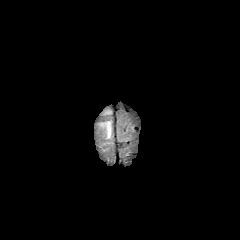
FLAIR magnetic resonance.
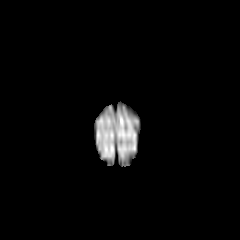
T1-weighted MR image.
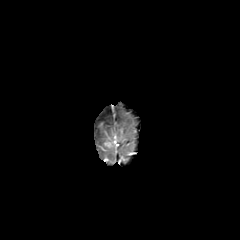
Post-contrast T1-weighted MR image.
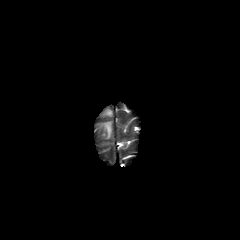
T2-weighted MR.
Image size 240x240.
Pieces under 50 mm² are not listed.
The largest peritumoral edema region is bounded by [101,121,111,138].